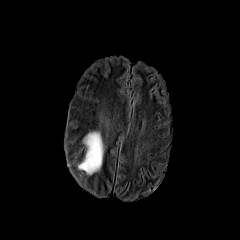
FLAIR MRI.
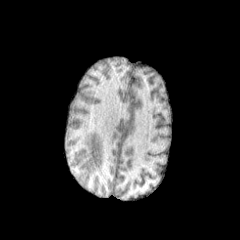
T1-weighted magnetic resonance of the same slice.
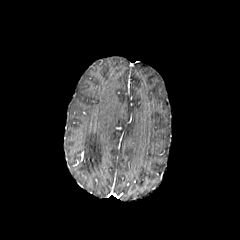
Post-contrast T1-weighted MR of the same slice.
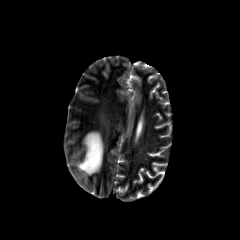
T2-weighted magnetic resonance of the same slice.
Head. Axial plane.
Annotated regions:
* peritumoral edema: 78, 131, 105, 174